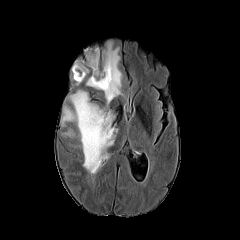
FLAIR MR image.
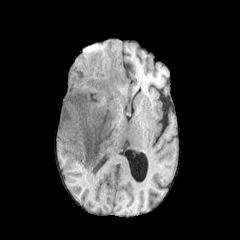
T1-weighted MRI.
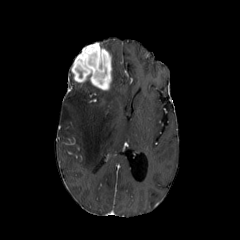
Post-contrast T1-weighted MRI.
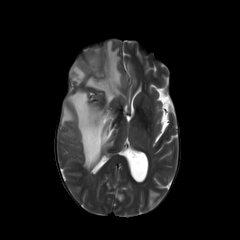
T2-weighted magnetic resonance of the same slice.
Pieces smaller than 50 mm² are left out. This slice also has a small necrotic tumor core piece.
{
  "enhancing_tumor": [
    "<box>71,43,112,90</box>"
  ],
  "peritumoral_edema": [
    "<box>104,41,122,105</box>",
    "<box>61,90,117,171</box>"
  ]
}